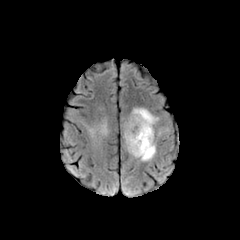
FLAIR MR.
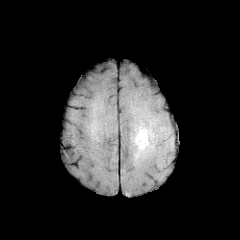
T1-weighted magnetic resonance.
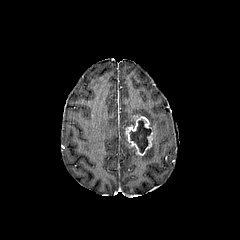
Same slice, post-contrast T1-weighted MR.
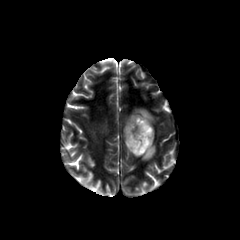
Same slice, T2-weighted MRI.
Axial view | Head | 240x240
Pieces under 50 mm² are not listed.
enhancing_tumor:
  - left=125, top=115, right=153, bottom=155
peritumoral_edema:
  - left=123, top=108, right=158, bottom=161
necrotic_tumor_core:
  - left=129, top=120, right=151, bottom=152